Slice index 54
FLAIR MR.
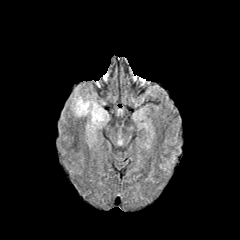
T1-weighted MR image.
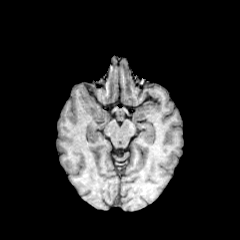
Post-contrast T1-weighted MRI.
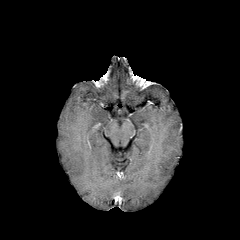
T2-weighted magnetic resonance.
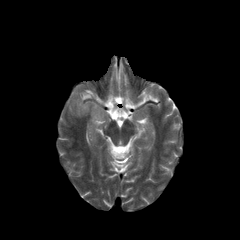
{
  "peritumoral_edema": [
    "region(72, 95, 108, 130)"
  ]
}